FLAIR MR.
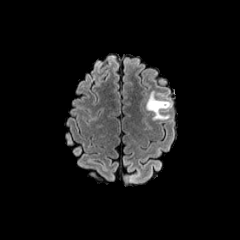
T1-weighted MR.
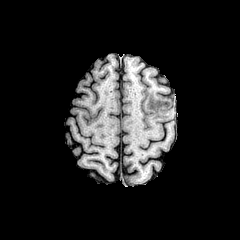
Post-contrast T1-weighted MRI.
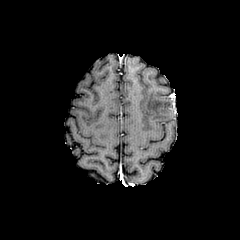
T2-weighted MR.
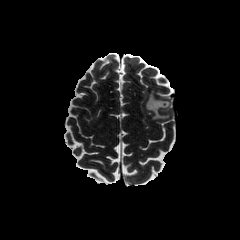
Axial slice. Brain.
peritumoral edema: [x1=146, y1=91, x2=172, y2=120]